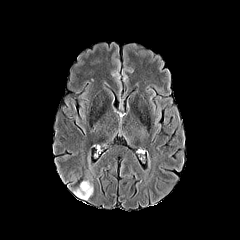
FLAIR magnetic resonance.
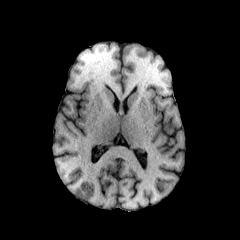
Same slice, T1-weighted MRI.
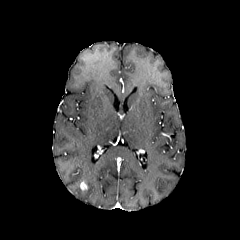
Same slice, post-contrast T1-weighted magnetic resonance.
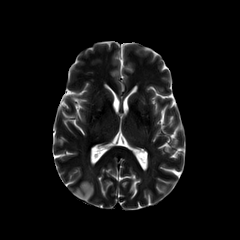
Same slice, T2-weighted MRI.
Axial view; Image size 240x240; Head
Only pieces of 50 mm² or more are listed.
{
  "peritumoral_edema": [
    "[73, 180, 93, 199]"
  ],
  "enhancing_tumor": [
    "[79, 181, 87, 190]"
  ]
}